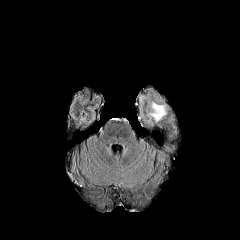
FLAIR magnetic resonance.
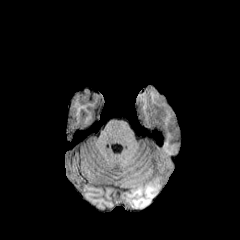
T1-weighted MR image of the same slice.
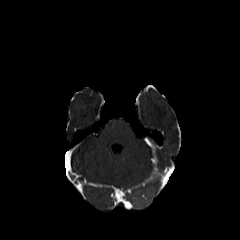
Post-contrast T1-weighted magnetic resonance.
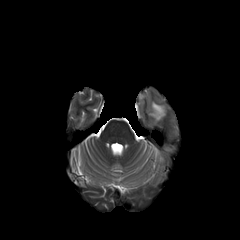
T2-weighted MRI.
Axial view | Image size 240x240
peritumoral edema: x1=149, y1=102, x2=165, y2=121